240x240 px, Slice 88/155, Image covers 240 mm x 240 mm, Brain
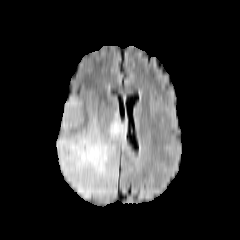
FLAIR MRI.
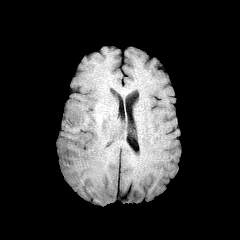
T1-weighted MRI of the same slice.
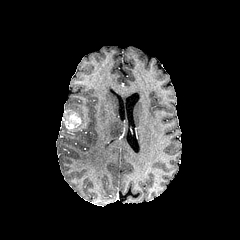
Post-contrast T1-weighted MR image.
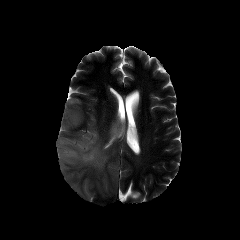
T2-weighted MRI of the same slice.
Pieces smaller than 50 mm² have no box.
peritumoral_edema:
  - 64:97:84:123
  - 56:113:125:198
enhancing_tumor:
  - 63:109:81:130